Slice 66 of 155 | Head
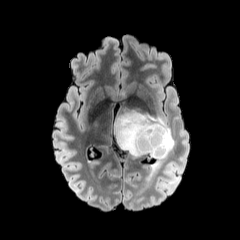
FLAIR magnetic resonance.
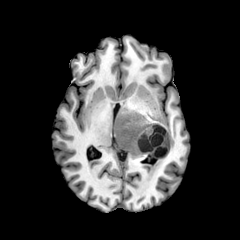
T1-weighted MR.
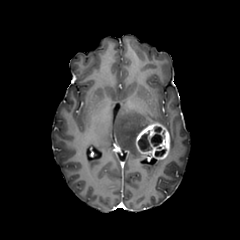
Post-contrast T1-weighted MR image.
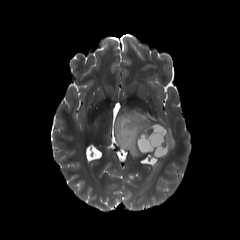
T2-weighted MRI of the same slice.
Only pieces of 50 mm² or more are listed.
The 3 largest necrotic tumor core regions are located at x1=150, y1=126, x2=162, y2=146; x1=155, y1=149, x2=166, y2=156; x1=138, y1=130, x2=151, y2=151. 2 peritumoral edema regions are bounded by x1=115, y1=110, x2=174, y2=156; x1=149, y1=159, x2=164, y2=178. The enhancing tumor is at x1=135, y1=123, x2=170, y2=159.